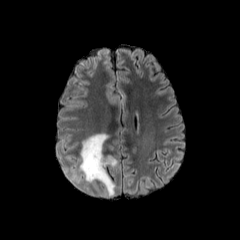
FLAIR MR.
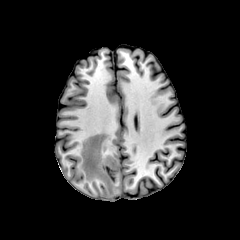
Same slice, T1-weighted MR.
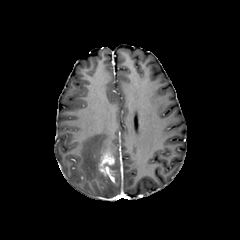
Post-contrast T1-weighted MR image.
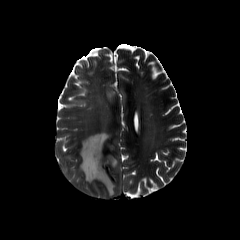
T2-weighted magnetic resonance.
Head
enhancing_tumor:
  - box=[98, 154, 114, 177]
peritumoral_edema:
  - box=[110, 158, 117, 169]
  - box=[78, 133, 115, 196]